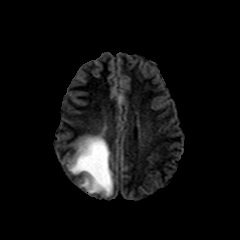
FLAIR MR.
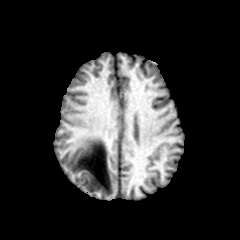
T1-weighted MR.
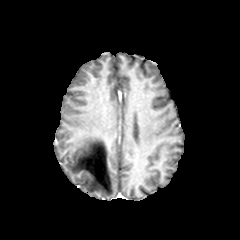
Same slice, post-contrast T1-weighted MR.
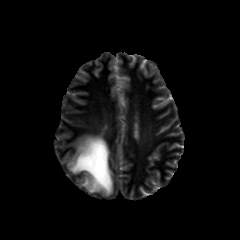
T2-weighted MR.
peritumoral_edema:
  - (left=67, top=135, right=113, bottom=196)